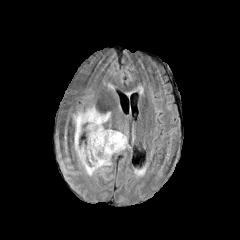
FLAIR MR.
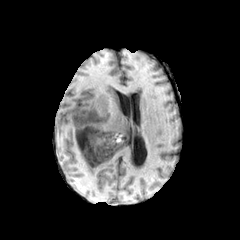
Same slice, T1-weighted MR image.
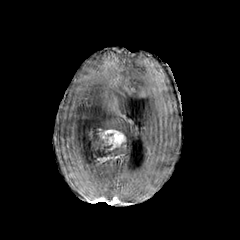
Post-contrast T1-weighted MR image.
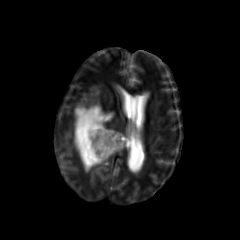
Same slice, T2-weighted magnetic resonance.
Brain | Axial plane
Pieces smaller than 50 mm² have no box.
The largest necrotic tumor core region appears at 85:135:115:164. The 2 largest enhancing tumor regions are bounded by 97:129:126:152, 96:155:111:164. 2 peritumoral edema regions are bounded by 74:105:111:174, 114:138:129:152.